FLAIR MR.
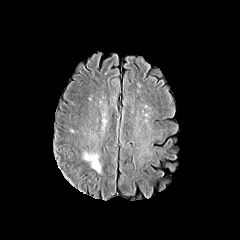
T1-weighted MRI.
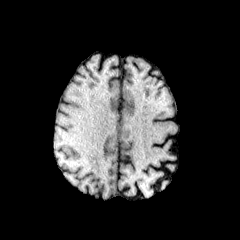
Post-contrast T1-weighted MR.
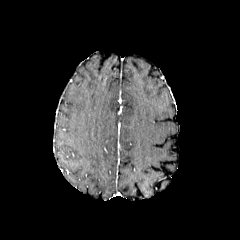
T2-weighted MR.
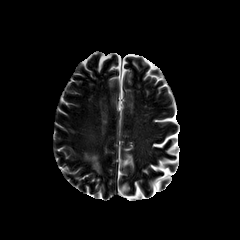
peritumoral edema: rect(84, 153, 100, 172)